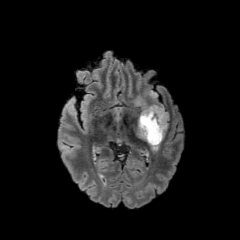
FLAIR MR image.
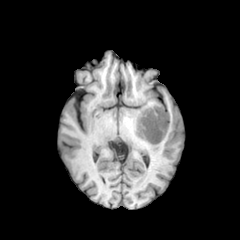
Same slice, T1-weighted MR.
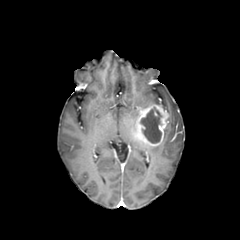
Post-contrast T1-weighted MR image of the same slice.
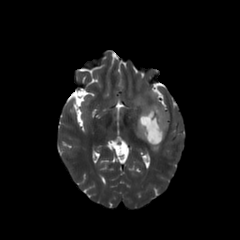
T2-weighted MRI of the same slice.
Axial view
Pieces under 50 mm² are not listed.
enhancing_tumor:
  - bbox(134, 104, 169, 146)
necrotic_tumor_core:
  - bbox(141, 107, 161, 143)
peritumoral_edema:
  - bbox(135, 94, 150, 108)